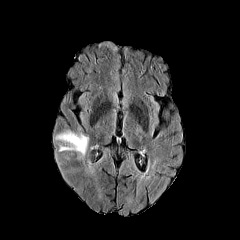
FLAIR MRI.
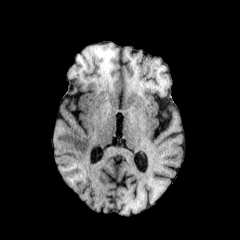
T1-weighted MRI.
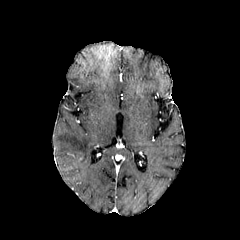
Post-contrast T1-weighted magnetic resonance.
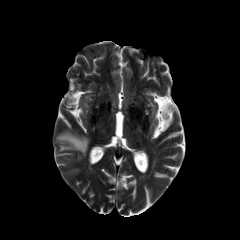
T2-weighted MRI of the same slice.
Head; Axial slice
peritumoral edema — box(56, 131, 88, 158)